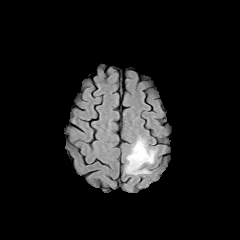
FLAIR MRI.
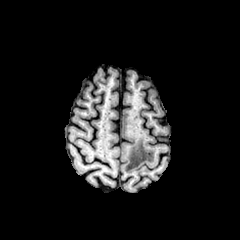
T1-weighted MR.
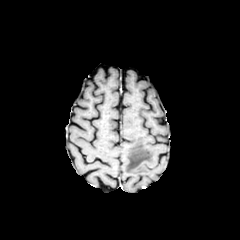
Same slice, post-contrast T1-weighted MR.
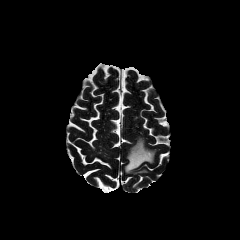
T2-weighted MR image of the same slice.
Axial slice | 240x240 | Brain
peritumoral edema: (125,136,156,174)